FLAIR magnetic resonance.
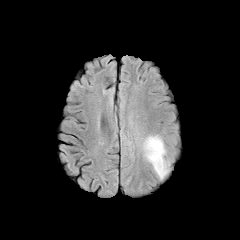
T1-weighted magnetic resonance.
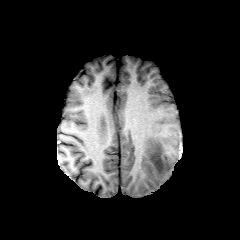
Post-contrast T1-weighted MRI.
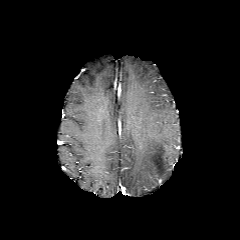
T2-weighted MR.
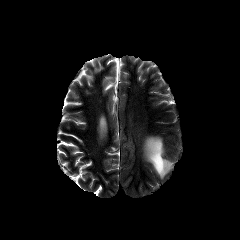
Brain | Axial view
Segmented structures:
- peritumoral edema: rect(144, 136, 170, 178)